FLAIR MR.
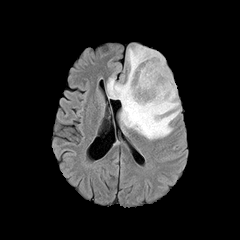
T1-weighted MR image.
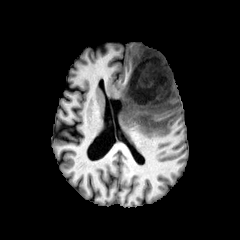
Post-contrast T1-weighted MRI.
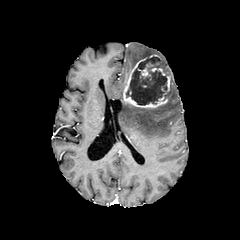
T2-weighted MR image.
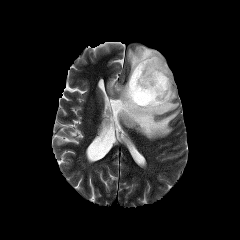
240x240; Head
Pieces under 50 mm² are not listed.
The largest necrotic tumor core region is located at [126, 56, 170, 105]. The 4 largest enhancing tumor regions are bounded by [139, 63, 153, 78], [151, 68, 169, 75], [123, 58, 168, 108], [161, 75, 171, 94]. 2 peritumoral edema regions are located at [107, 75, 180, 139], [127, 45, 171, 78].